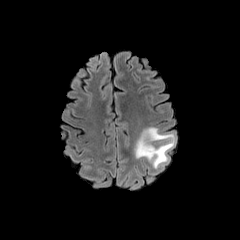
FLAIR MR image.
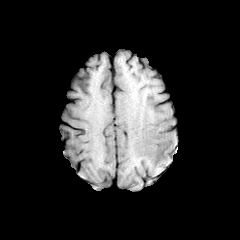
Same slice, T1-weighted MR image.
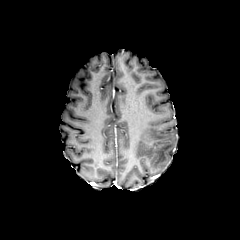
Post-contrast T1-weighted MRI.
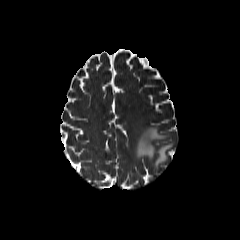
T2-weighted magnetic resonance.
Axial slice
{
  "peritumoral_edema": [
    "box=[134, 127, 175, 168]"
  ]
}